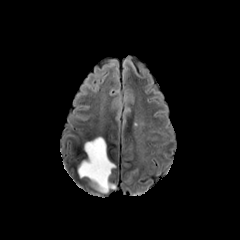
FLAIR MRI.
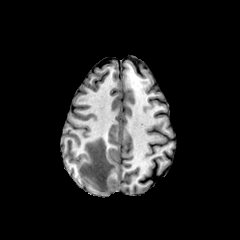
T1-weighted magnetic resonance.
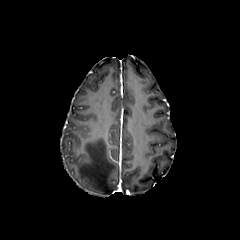
Same slice, post-contrast T1-weighted MR.
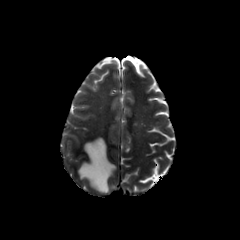
T2-weighted MRI.
peritumoral edema — 78,137,115,193